Head, Image width 240 mm, Slice index 89
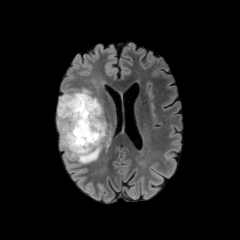
FLAIR MR image.
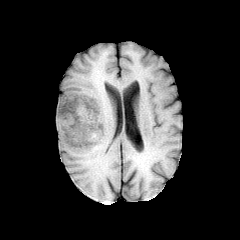
T1-weighted magnetic resonance.
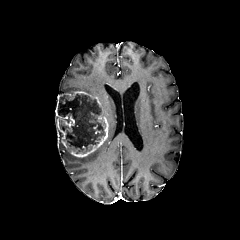
Post-contrast T1-weighted MR image of the same slice.
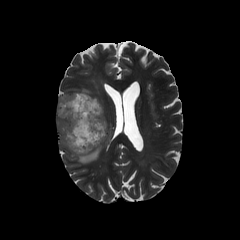
T2-weighted MR.
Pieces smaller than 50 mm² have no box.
The largest necrotic tumor core region appears at (59,94,105,153). The largest peritumoral edema region is bounded by (60,130,111,163). The largest enhancing tumor region lies within (56,91,108,157).